FLAIR MR image.
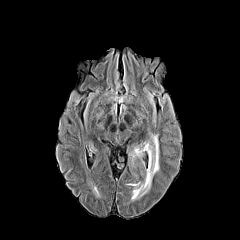
T1-weighted MR image.
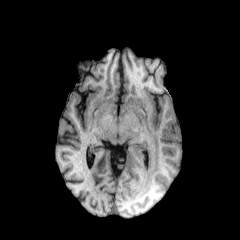
Post-contrast T1-weighted MR.
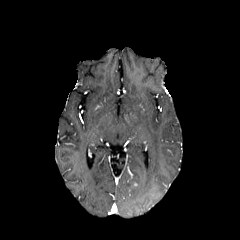
T2-weighted MR image.
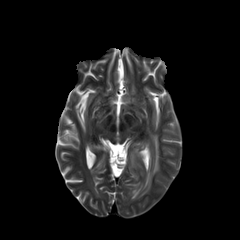
Axial view. Brain.
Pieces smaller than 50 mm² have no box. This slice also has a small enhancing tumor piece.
Findings:
- peritumoral edema: 131,135,159,199; 131,148,140,157